Image width 240 mm, 1.00 mm slice spacing. Brain.
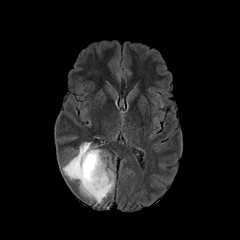
FLAIR MRI.
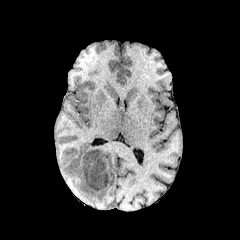
T1-weighted MR of the same slice.
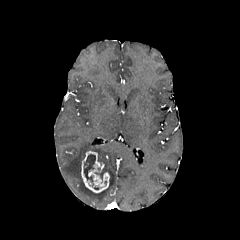
Post-contrast T1-weighted magnetic resonance of the same slice.
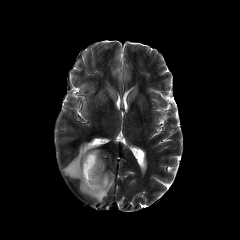
T2-weighted MRI.
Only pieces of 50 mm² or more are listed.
peritumoral edema = x1=63 y1=142 x2=114 y2=203
enhancing tumor = x1=81 y1=151 x2=109 y2=193
necrotic tumor core = x1=84 y1=154 x2=95 y2=182